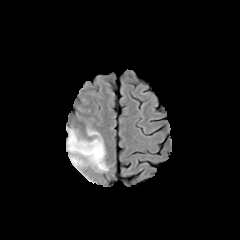
FLAIR MR.
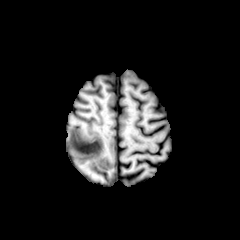
T1-weighted MR of the same slice.
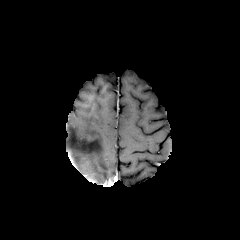
Same slice, post-contrast T1-weighted magnetic resonance.
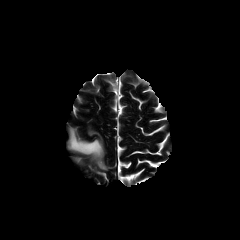
Same slice, T2-weighted MR.
240x240 px. Brain.
Annotated regions:
• peritumoral edema: 66 128 108 170